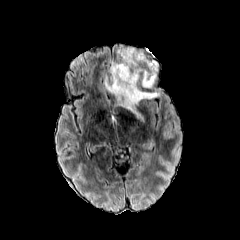
FLAIR MR.
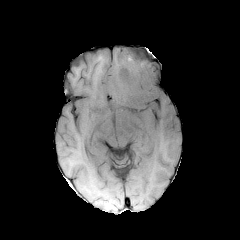
T1-weighted MR image of the same slice.
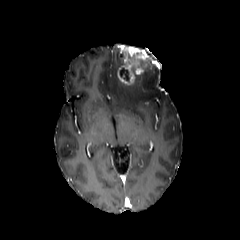
Same slice, post-contrast T1-weighted magnetic resonance.
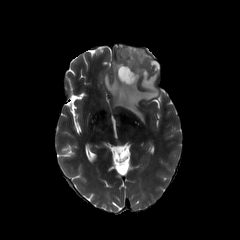
T2-weighted magnetic resonance.
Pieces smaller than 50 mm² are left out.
enhancing tumor — region(117, 46, 156, 85)
peritumoral edema — region(104, 49, 159, 117)
necrotic tumor core — region(120, 68, 129, 80)